Slice 87/155 | Axial plane | 240x240
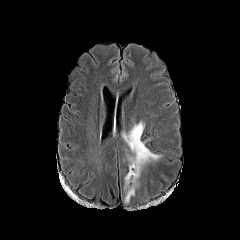
FLAIR MR image.
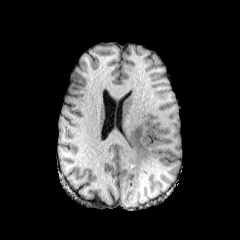
T1-weighted MR image.
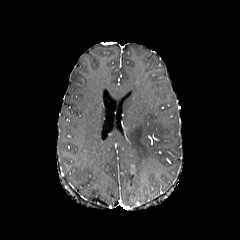
Same slice, post-contrast T1-weighted MRI.
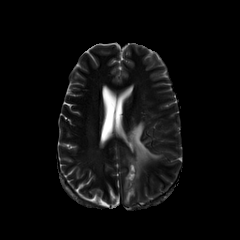
Same slice, T2-weighted MR.
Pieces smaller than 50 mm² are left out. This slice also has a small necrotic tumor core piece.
peritumoral edema: bounding box rect(123, 122, 160, 203)
enhancing tumor: bounding box rect(127, 165, 136, 187)